240x240; Axial slice
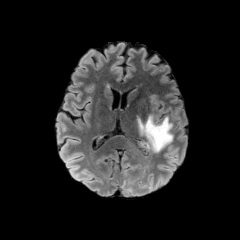
FLAIR MR image.
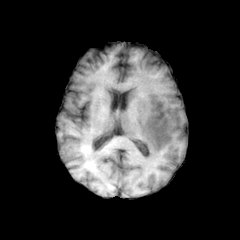
T1-weighted magnetic resonance.
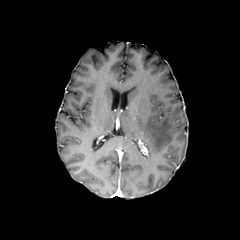
Post-contrast T1-weighted MR.
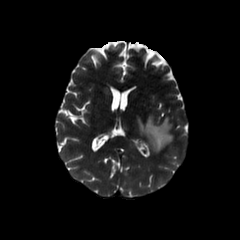
T2-weighted magnetic resonance of the same slice.
Annotated regions:
• peritumoral edema: left=138, top=115, right=173, bottom=152